Head; Axial slice; 240x240 px
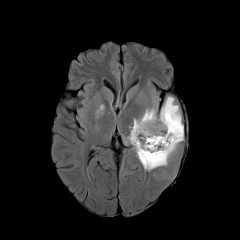
FLAIR MR.
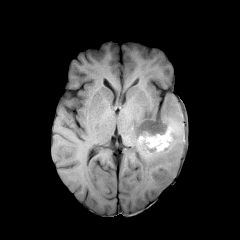
T1-weighted MRI.
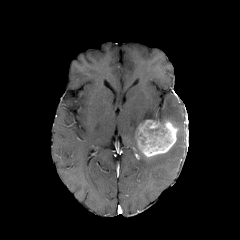
Same slice, post-contrast T1-weighted MR.
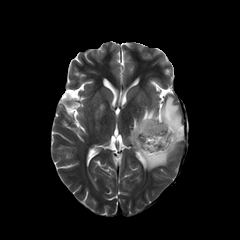
Same slice, T2-weighted MR image.
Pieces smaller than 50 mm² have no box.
2 peritumoral edema regions are located at (127, 96, 183, 170), (94, 103, 104, 129). 2 necrotic tumor core regions are bounded by (149, 129, 169, 147), (138, 134, 146, 144). The largest enhancing tumor region appears at (138, 120, 177, 156).